FLAIR MR.
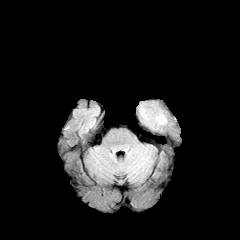
T1-weighted magnetic resonance.
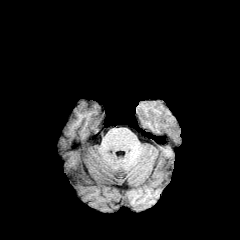
Post-contrast T1-weighted MRI.
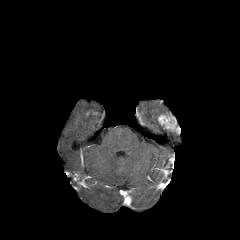
T2-weighted MR image.
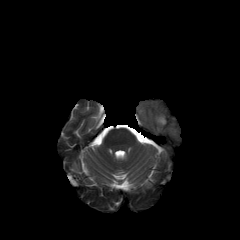
Head. 240x240.
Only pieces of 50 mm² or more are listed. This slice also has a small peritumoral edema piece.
The enhancing tumor is located at <bbox>158, 114, 180, 133</bbox>.